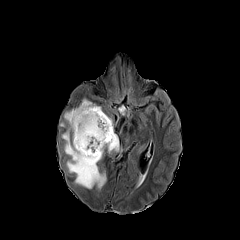
FLAIR magnetic resonance.
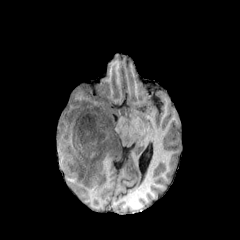
T1-weighted MRI.
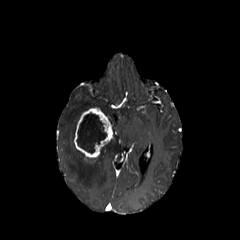
Post-contrast T1-weighted magnetic resonance of the same slice.
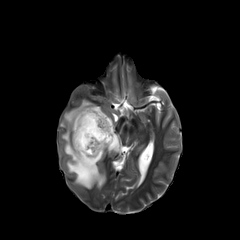
T2-weighted magnetic resonance.
240x240 px
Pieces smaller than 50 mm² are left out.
<segmentation>
  <peritumoral_edema>bbox=[60, 99, 119, 189]</peritumoral_edema>
  <necrotic_tumor_core>bbox=[77, 113, 106, 153]</necrotic_tumor_core>
  <enhancing_tumor>bbox=[74, 107, 113, 158]</enhancing_tumor>
</segmentation>